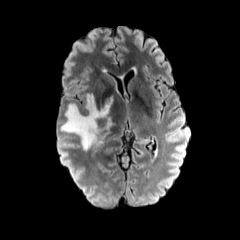
FLAIR magnetic resonance.
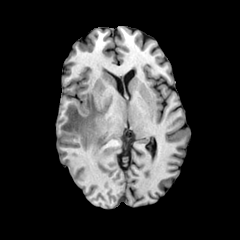
T1-weighted magnetic resonance.
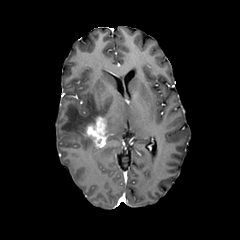
Post-contrast T1-weighted MR of the same slice.
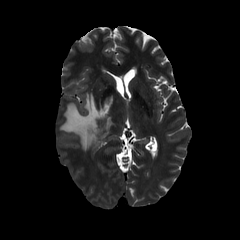
T2-weighted MR of the same slice.
Brain.
Segmented structures:
- enhancing tumor: <box>84,117,106,148</box>
- peritumoral edema: <box>60,94,113,150</box>, <box>107,117,114,134</box>